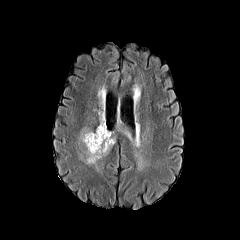
FLAIR MR.
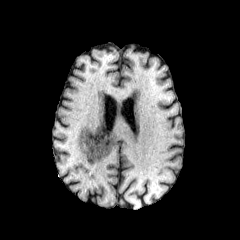
T1-weighted MR image.
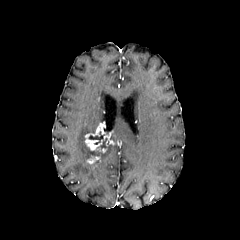
Post-contrast T1-weighted MR image of the same slice.
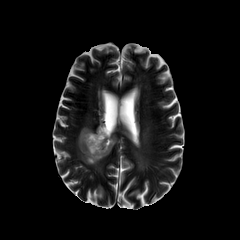
T2-weighted MR.
Axial plane, Head
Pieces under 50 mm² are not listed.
necrotic_tumor_core:
  - [88,131,107,149]
peritumoral_edema:
  - [99,111,105,122]
  - [80,131,93,141]
  - [87,144,113,159]
  - [116,124,133,142]
enhancing_tumor:
  - [85,123,113,152]
  - [87,156,99,163]